Brain | Axial slice | 240x240 px
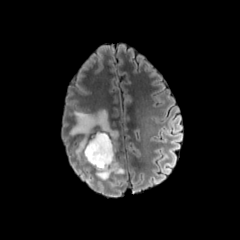
FLAIR magnetic resonance.
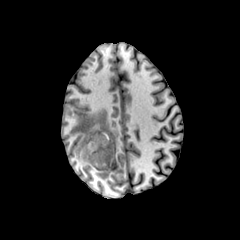
T1-weighted MRI.
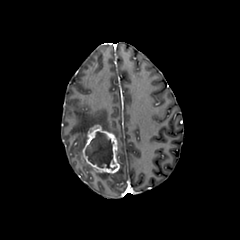
Post-contrast T1-weighted MR of the same slice.
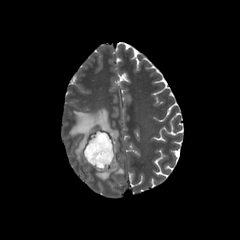
T2-weighted magnetic resonance of the same slice.
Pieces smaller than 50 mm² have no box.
* peritumoral edema: x1=96, y1=164, x2=124, y2=180; x1=69, y1=109, x2=118, y2=153
* necrotic tumor core: x1=85, y1=132, x2=113, y2=167
* enhancing tumor: x1=82, y1=125, x2=119, y2=173